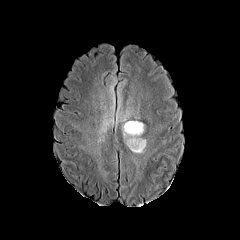
FLAIR MRI.
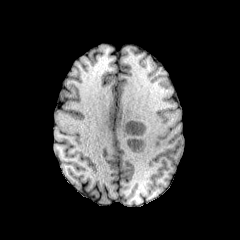
T1-weighted magnetic resonance.
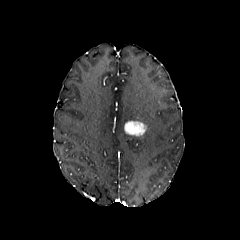
Same slice, post-contrast T1-weighted MRI.
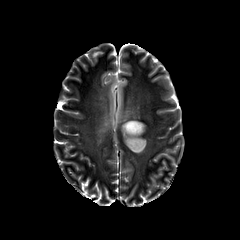
Same slice, T2-weighted magnetic resonance.
240x240 px
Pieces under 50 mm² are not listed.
The 3 largest peritumoral edema regions are located at <bbox>116, 108, 146, 153</bbox>, <bbox>109, 79, 115, 104</bbox>, <bbox>99, 112, 113, 134</bbox>. The enhancing tumor is bounded by <bbox>124, 121, 146, 136</bbox>.